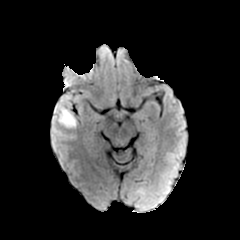
FLAIR MRI.
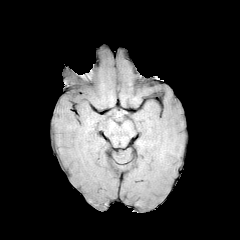
T1-weighted MRI of the same slice.
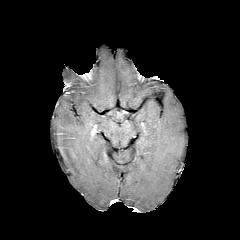
Same slice, post-contrast T1-weighted MR.
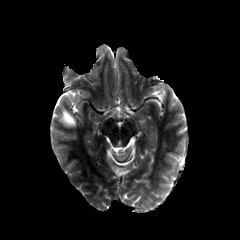
T2-weighted MRI.
240x240. Axial view. Brain.
<segmentation>
  <peritumoral_edema>bbox(56, 107, 76, 128)</peritumoral_edema>
</segmentation>